Head, Image size 240x240, Slice 99 of 155
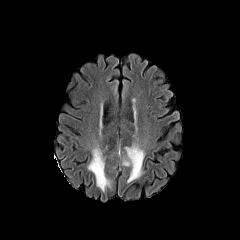
FLAIR magnetic resonance.
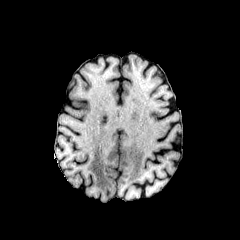
T1-weighted MR.
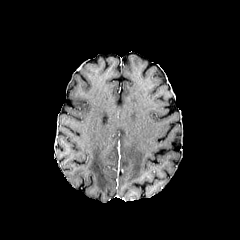
Same slice, post-contrast T1-weighted MR.
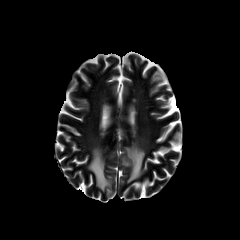
T2-weighted MR of the same slice.
peritumoral edema: (88, 146, 110, 191), (122, 143, 144, 182)